Image size 240x240. Head. Axial view.
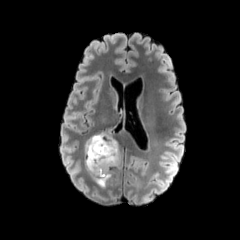
FLAIR MR.
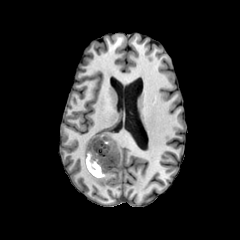
Same slice, T1-weighted MR.
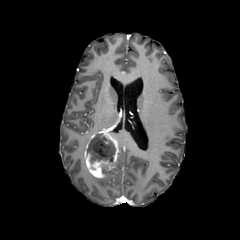
Post-contrast T1-weighted MR image.
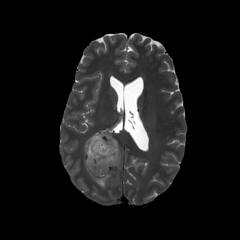
T2-weighted MR image.
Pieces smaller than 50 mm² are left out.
<segmentation>
  <enhancing_tumor>bbox=[84, 130, 119, 178]</enhancing_tumor>
  <peritumoral_edema>bbox=[90, 167, 116, 187]; bbox=[116, 140, 120, 167]; bbox=[84, 129, 103, 149]</peritumoral_edema>
  <necrotic_tumor_core>bbox=[87, 134, 115, 171]</necrotic_tumor_core>
</segmentation>